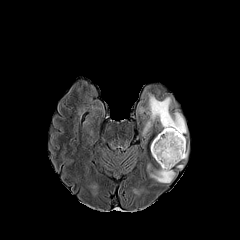
FLAIR MRI.
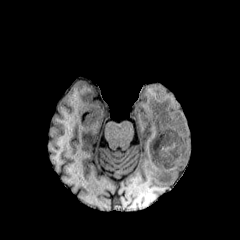
Same slice, T1-weighted MRI.
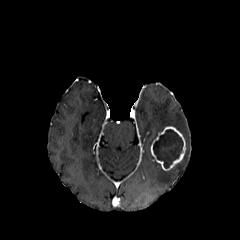
Same slice, post-contrast T1-weighted MR image.
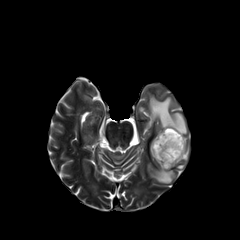
Same slice, T2-weighted MRI.
Axial plane, Head, Image size 240x240
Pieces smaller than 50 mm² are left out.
peritumoral edema: x1=149, y1=167, x2=176, y2=183; x1=181, y1=146, x2=188, y2=163; x1=142, y1=94, x2=187, y2=135 | enhancing tumor: x1=150, y1=126, x2=186, y2=170 | necrotic tumor core: x1=153, y1=129, x2=183, y2=168